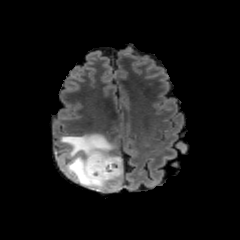
FLAIR magnetic resonance.
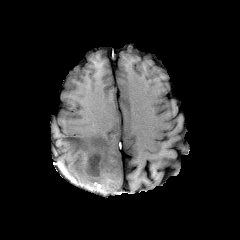
T1-weighted magnetic resonance of the same slice.
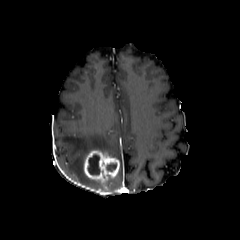
Post-contrast T1-weighted MRI.
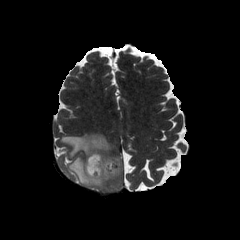
T2-weighted MRI.
Axial view | 240x240 px
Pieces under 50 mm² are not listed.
necrotic tumor core: left=88, top=155, right=100, bottom=174; left=106, top=163, right=116, bottom=171 | enhancing tumor: left=83, top=150, right=120, bottom=183 | peritumoral edema: left=60, top=133, right=123, bottom=190